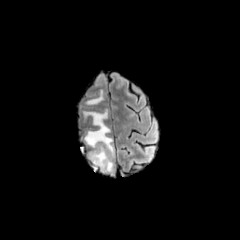
FLAIR MR.
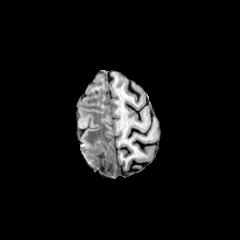
T1-weighted MR.
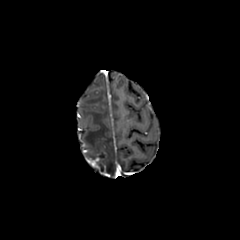
Post-contrast T1-weighted MRI of the same slice.
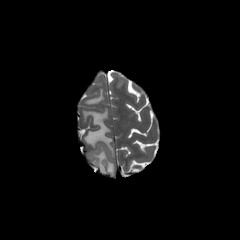
T2-weighted MR.
Axial slice
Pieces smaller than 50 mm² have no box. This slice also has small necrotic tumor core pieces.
peritumoral edema: (x1=83, y1=109, x2=114, y2=174), (x1=85, y1=89, x2=104, y2=104) | enhancing tumor: (x1=87, y1=151, x2=106, y2=171)